Head; Image size 240x240
FLAIR magnetic resonance.
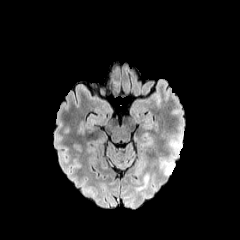
T1-weighted MR image.
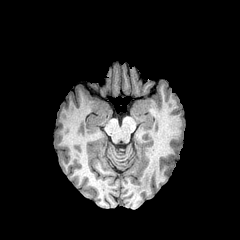
Post-contrast T1-weighted magnetic resonance.
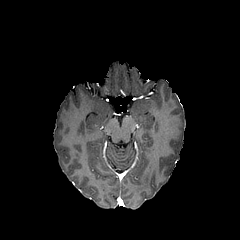
T2-weighted MRI.
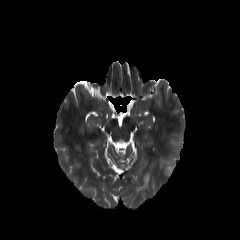
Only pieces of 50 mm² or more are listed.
peritumoral edema at bbox(161, 133, 182, 176); bbox(134, 172, 149, 192)